Axial plane. Head.
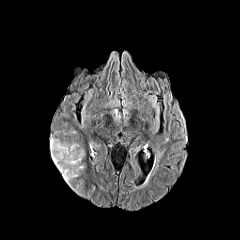
FLAIR MR image.
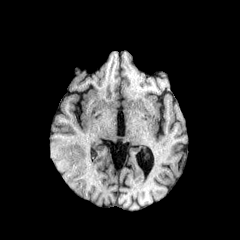
T1-weighted magnetic resonance.
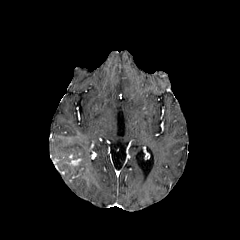
Same slice, post-contrast T1-weighted magnetic resonance.
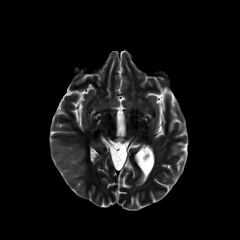
T2-weighted MR image.
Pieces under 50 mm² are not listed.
peritumoral edema = [50,139,84,185]
enhancing tumor = [66,155,81,166]